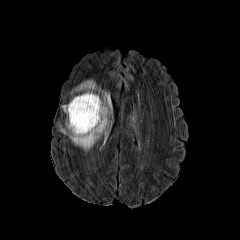
FLAIR MRI.
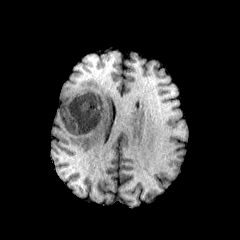
T1-weighted magnetic resonance of the same slice.
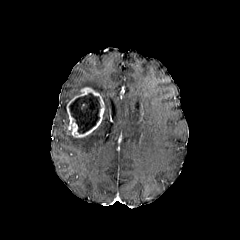
Same slice, post-contrast T1-weighted MR image.
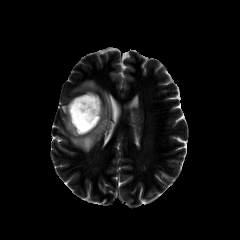
T2-weighted MRI.
Axial view, Brain
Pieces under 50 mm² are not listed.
<segmentation>
  <necrotic_tumor_core>(left=69, top=93, right=100, bottom=133)</necrotic_tumor_core>
  <peritumoral_edema>(left=131, top=112, right=136, bottom=128), (left=60, top=80, right=111, bottom=151)</peritumoral_edema>
  <enhancing_tumor>(left=66, top=87, right=104, bottom=137)</enhancing_tumor>
</segmentation>